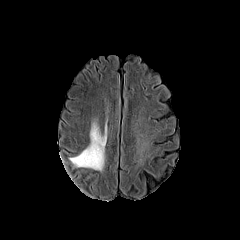
FLAIR MRI.
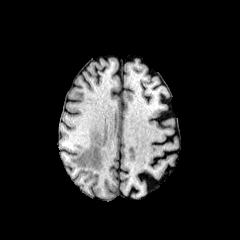
T1-weighted MRI of the same slice.
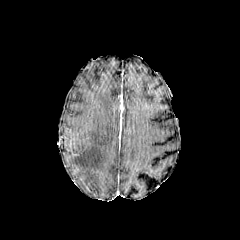
Post-contrast T1-weighted MR.
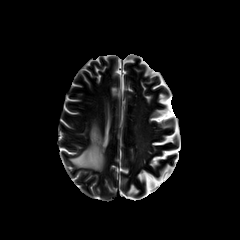
T2-weighted MR.
peritumoral edema: 69 120 106 170